Image size 240x240. Image width 240 mm, 1.00 mm slice spacing.
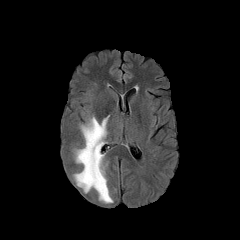
FLAIR MR.
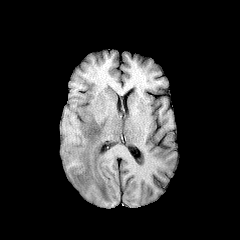
T1-weighted MR image.
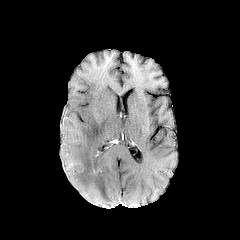
Post-contrast T1-weighted magnetic resonance.
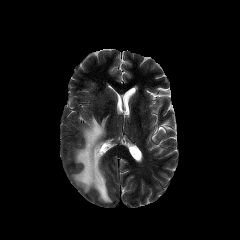
T2-weighted MR.
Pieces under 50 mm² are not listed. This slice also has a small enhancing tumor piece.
- peritumoral edema: (73, 116, 112, 203)